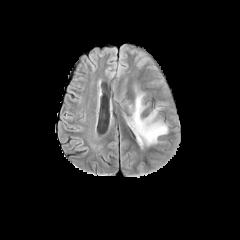
FLAIR MR image.
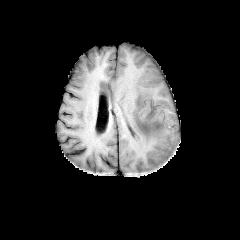
Same slice, T1-weighted MRI.
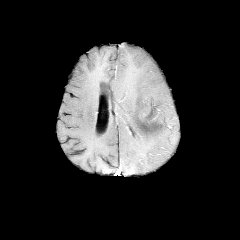
Post-contrast T1-weighted MR image.
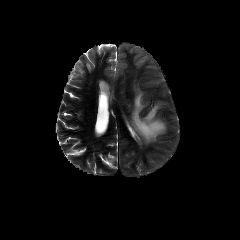
T2-weighted magnetic resonance of the same slice.
Head. Axial slice.
peritumoral edema: l=127, t=89, r=167, b=146